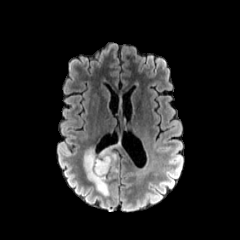
FLAIR MR image.
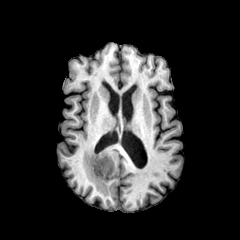
T1-weighted magnetic resonance.
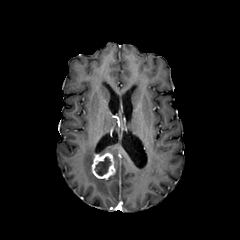
Same slice, post-contrast T1-weighted MRI.
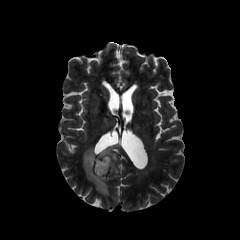
T2-weighted MR image.
Head. Axial slice.
The enhancing tumor is bounded by (92,152,115,179). 2 peritumoral edema regions appear at (98,143,119,174), (83,147,114,195). The necrotic tumor core appears at (95,156,111,175).